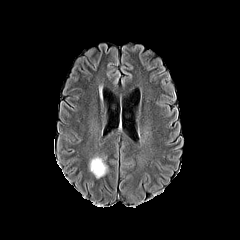
FLAIR magnetic resonance.
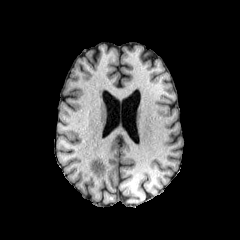
T1-weighted magnetic resonance of the same slice.
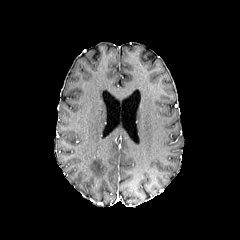
Post-contrast T1-weighted MRI.
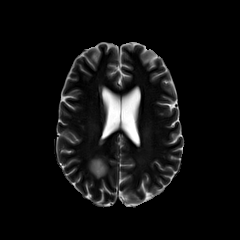
T2-weighted MR image.
peritumoral edema: bounding box bbox(89, 157, 107, 177)